Slice 72 of 155
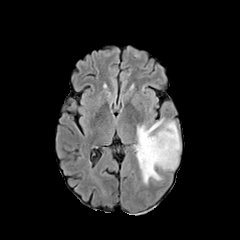
FLAIR MR image.
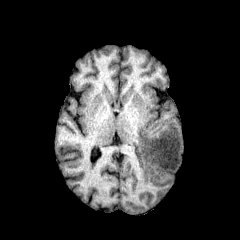
T1-weighted MR.
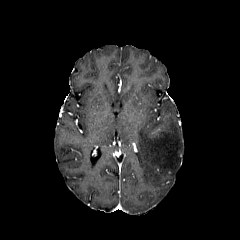
Post-contrast T1-weighted magnetic resonance of the same slice.
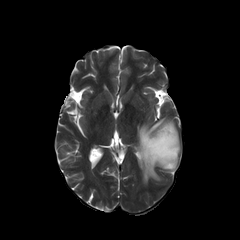
T2-weighted magnetic resonance.
peritumoral edema: x1=136 y1=118 x2=180 y2=184